Slice 108 of 155. Head.
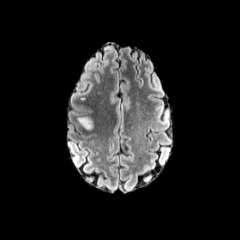
FLAIR MRI.
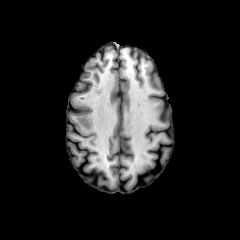
Same slice, T1-weighted magnetic resonance.
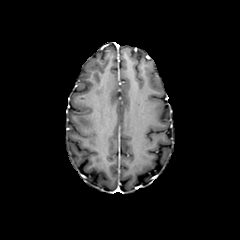
Post-contrast T1-weighted magnetic resonance.
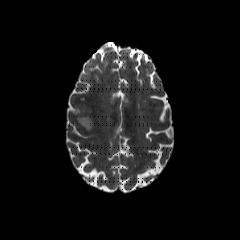
T2-weighted MRI.
peritumoral edema = {"x1": 77, "y1": 114, "x2": 98, "y2": 131}